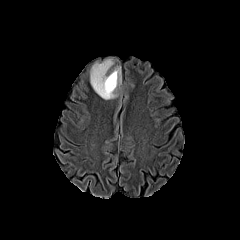
FLAIR MRI.
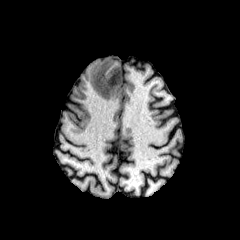
Same slice, T1-weighted magnetic resonance.
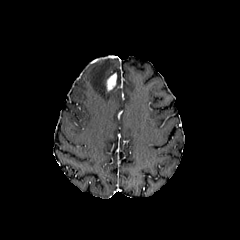
Post-contrast T1-weighted magnetic resonance.
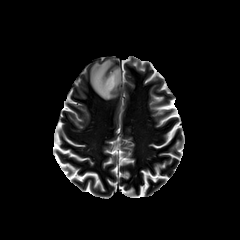
Same slice, T2-weighted magnetic resonance.
Axial view, Brain
enhancing tumor = region(106, 73, 116, 91)
peritumoral edema = region(90, 59, 120, 99)